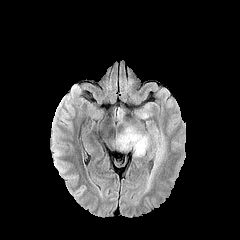
FLAIR magnetic resonance.
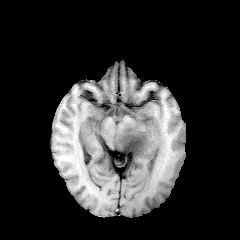
Same slice, T1-weighted MRI.
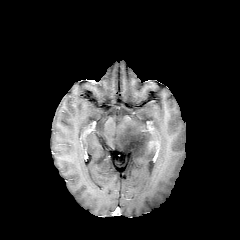
Post-contrast T1-weighted magnetic resonance.
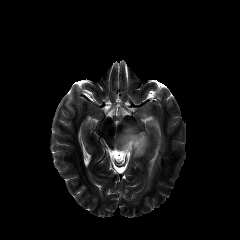
Same slice, T2-weighted MRI.
240x240 px.
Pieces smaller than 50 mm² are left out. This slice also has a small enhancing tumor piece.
peritumoral edema: [117, 109, 123, 118], [154, 128, 164, 168], [116, 122, 149, 157]